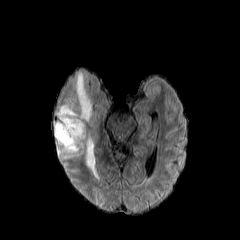
FLAIR MRI.
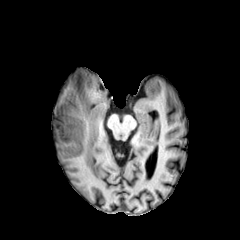
T1-weighted magnetic resonance of the same slice.
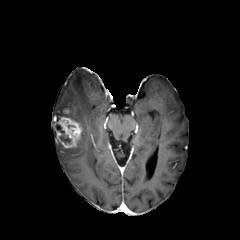
Post-contrast T1-weighted magnetic resonance of the same slice.
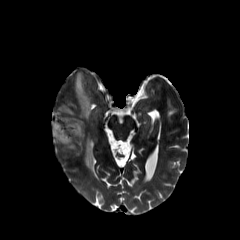
Same slice, T2-weighted MRI.
Axial slice, Brain
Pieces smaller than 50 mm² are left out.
enhancing tumor: [54, 116, 82, 148] | peritumoral edema: [85, 136, 98, 178], [57, 72, 91, 157] | necrotic tumor core: [60, 135, 70, 143]